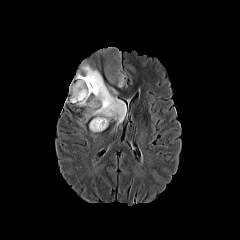
FLAIR magnetic resonance.
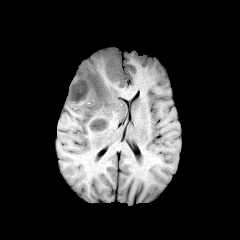
Same slice, T1-weighted MR.
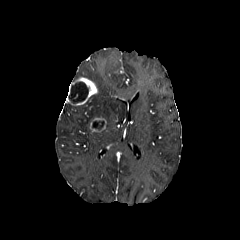
Same slice, post-contrast T1-weighted MR image.
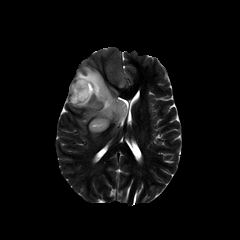
T2-weighted magnetic resonance of the same slice.
Axial plane; Brain
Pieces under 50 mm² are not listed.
enhancing tumor = <bbox>66, 77, 98, 105</bbox>, <bbox>89, 117, 106, 132</bbox>
peritumoral edema = <bbox>78, 112, 89, 126</bbox>, <bbox>74, 47, 126, 127</bbox>
necrotic tumor core = <bbox>92, 121, 104, 129</bbox>, <bbox>68, 82, 91, 103</bbox>